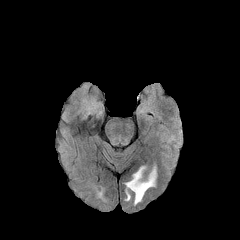
FLAIR MR image.
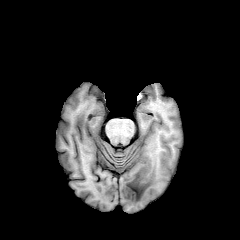
T1-weighted MR image.
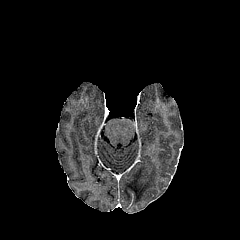
Post-contrast T1-weighted MR image.
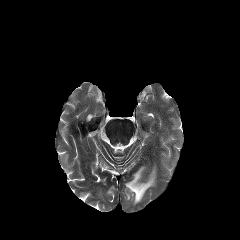
T2-weighted MR of the same slice.
240x240 px, Head
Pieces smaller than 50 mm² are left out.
The largest peritumoral edema region is bounded by bbox(125, 166, 156, 204).